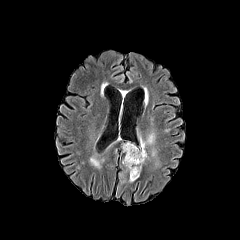
FLAIR MR.
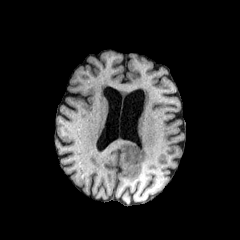
T1-weighted MR image of the same slice.
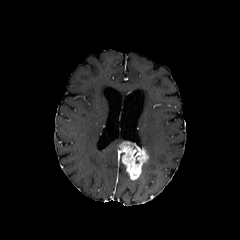
Post-contrast T1-weighted magnetic resonance.
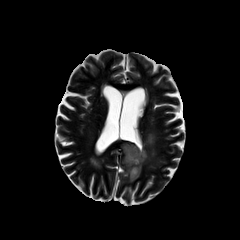
T2-weighted MRI.
Axial view | 240x240
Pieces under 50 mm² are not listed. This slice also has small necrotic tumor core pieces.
peritumoral_edema:
  - <bbox>140, 133, 155, 147</bbox>
enhancing_tumor:
  - <bbox>119, 141, 148, 180</bbox>